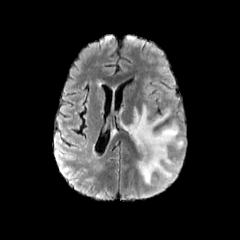
FLAIR MR.
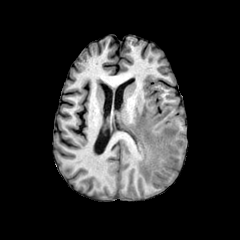
Same slice, T1-weighted MRI.
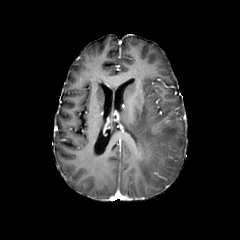
Post-contrast T1-weighted MR image of the same slice.
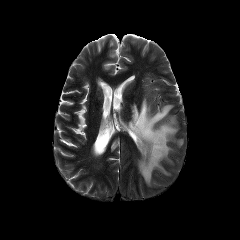
T2-weighted MRI of the same slice.
240x240
peritumoral edema = region(127, 104, 183, 184)